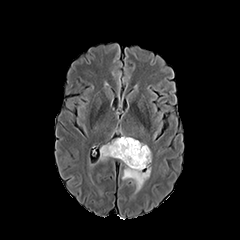
FLAIR MR image.
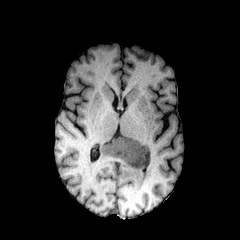
T1-weighted MRI.
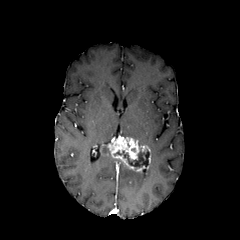
Post-contrast T1-weighted MR.
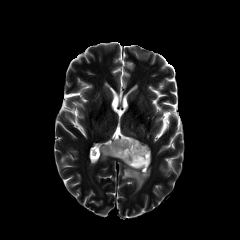
T2-weighted MRI of the same slice.
Axial view. Brain.
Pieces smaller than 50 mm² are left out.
enhancing tumor = 107,137,151,171
peritumoral edema = 99,145,112,160; 122,166,150,191
necrotic tumor core = 114,149,149,167